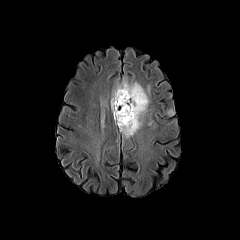
FLAIR MRI.
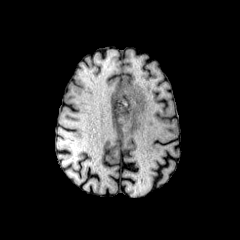
T1-weighted MR of the same slice.
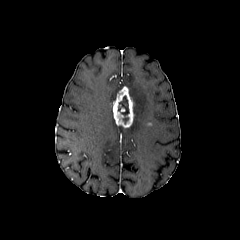
Post-contrast T1-weighted MR.
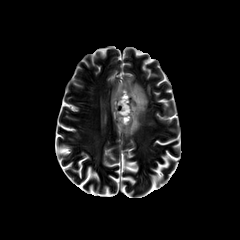
Same slice, T2-weighted MRI.
Axial slice
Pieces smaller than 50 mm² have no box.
enhancing tumor: (x1=112, y1=86, x2=134, y2=127)
peritumoral edema: (x1=166, y1=109, x2=175, y2=116), (x1=111, y1=78, x2=148, y2=137)
necrotic tumor core: (x1=118, y1=96, x2=129, y2=123)